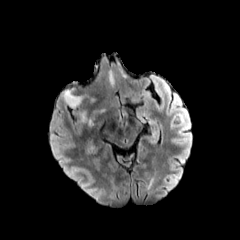
FLAIR MR image.
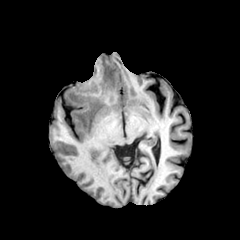
T1-weighted MRI.
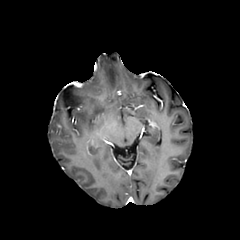
Post-contrast T1-weighted MRI of the same slice.
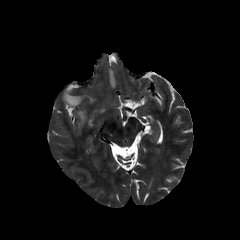
T2-weighted MR image of the same slice.
Axial slice. Brain. 240x240 px.
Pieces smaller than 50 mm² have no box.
peritumoral edema: bbox=[109, 70, 115, 86]; bbox=[63, 90, 82, 107]; bbox=[79, 112, 86, 122]